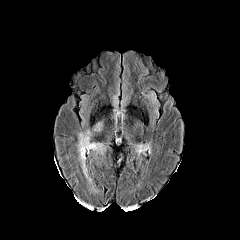
FLAIR MR image.
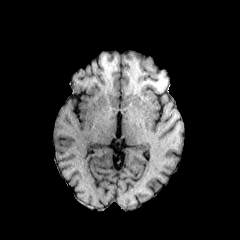
T1-weighted MRI.
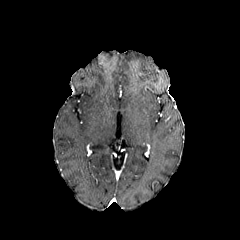
Post-contrast T1-weighted MR of the same slice.
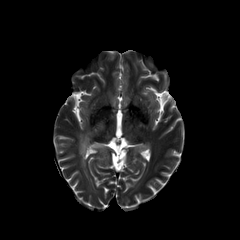
T2-weighted MRI.
240x240 px. Brain. Axial view.
- peritumoral edema: box=[136, 144, 145, 154]; box=[78, 121, 104, 175]